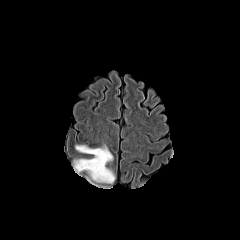
FLAIR MRI.
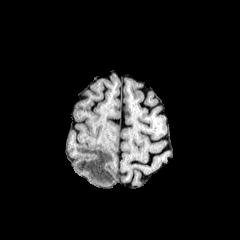
T1-weighted magnetic resonance of the same slice.
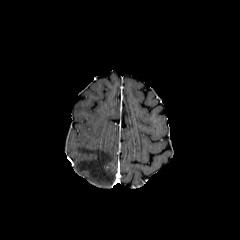
Post-contrast T1-weighted magnetic resonance.
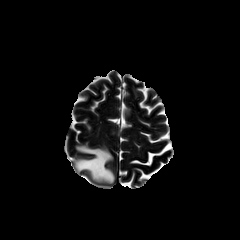
T2-weighted MR image of the same slice.
Brain. Axial view.
The peritumoral edema is bounded by 74, 145, 114, 183.